Image width 240 mm, 1.00 mm slice spacing, Slice 53 of 155, Brain
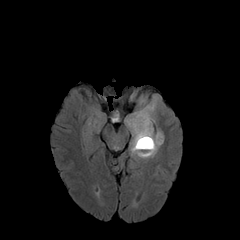
FLAIR magnetic resonance.
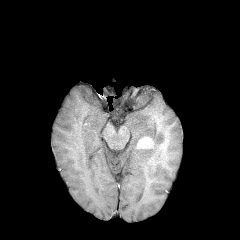
T1-weighted magnetic resonance of the same slice.
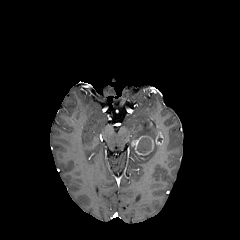
Same slice, post-contrast T1-weighted MRI.
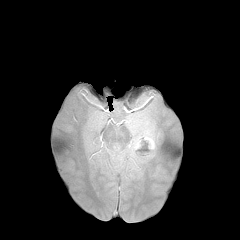
T2-weighted MR.
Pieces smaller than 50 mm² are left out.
peritumoral edema: [x1=139, y1=97, x2=146, y2=104], [x1=125, y1=95, x2=163, y2=158]
enhancing tumor: [x1=131, y1=136, x2=153, y2=155], [x1=155, y1=132, x2=163, y2=144]
necrotic tumor core: [x1=137, y1=137, x2=151, y2=153]